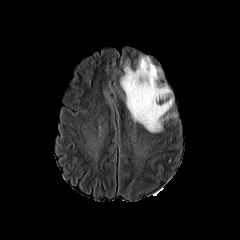
FLAIR magnetic resonance.
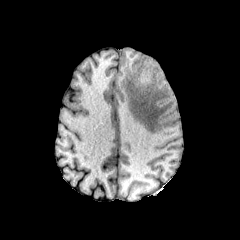
T1-weighted MRI.
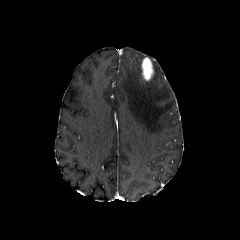
Post-contrast T1-weighted MRI.
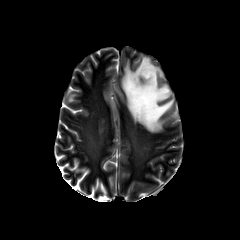
T2-weighted MRI.
240x240; Axial plane; Brain
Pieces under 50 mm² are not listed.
enhancing tumor: 141, 56, 154, 80
peritumoral edema: 121, 56, 173, 132